FLAIR MR.
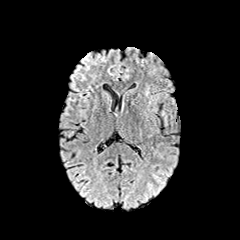
T1-weighted MRI.
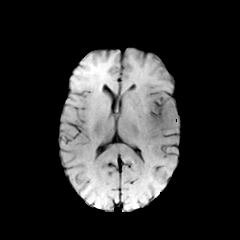
Post-contrast T1-weighted MRI.
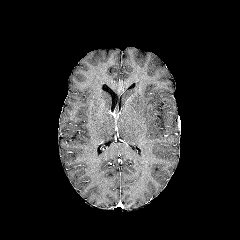
T2-weighted MR.
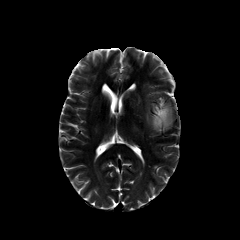
Head
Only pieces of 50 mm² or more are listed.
The largest peritumoral edema region is bounded by box=[161, 108, 167, 125].